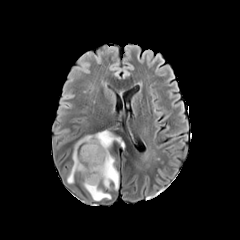
FLAIR MRI.
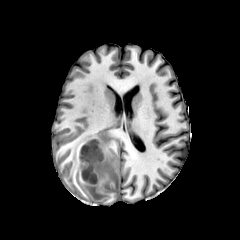
T1-weighted MR.
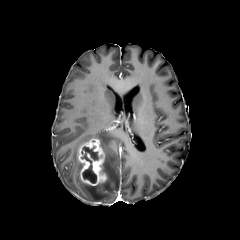
Same slice, post-contrast T1-weighted MRI.
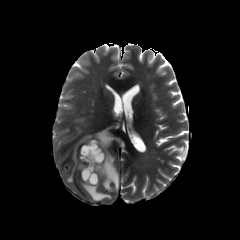
T2-weighted MRI.
240x240 px, Head
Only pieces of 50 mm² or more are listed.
The largest necrotic tumor core region lies within (left=81, top=146, right=98, bottom=183). The enhancing tumor is bounded by (left=78, top=139, right=107, bottom=185). 2 peritumoral edema regions appear at (left=67, top=130, right=124, bottom=190), (left=83, top=183, right=111, bottom=200).